Axial view. Slice 45 of 155. Brain.
FLAIR magnetic resonance.
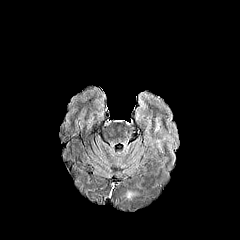
T1-weighted magnetic resonance.
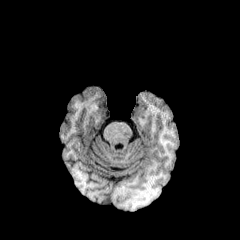
Post-contrast T1-weighted MRI.
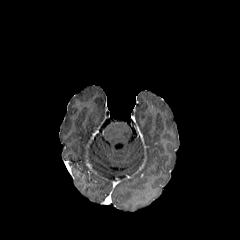
T2-weighted MR.
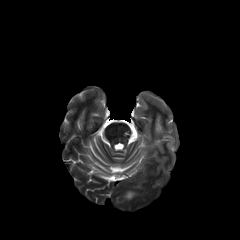
peritumoral edema — (x1=126, y1=191, x2=134, y2=198)